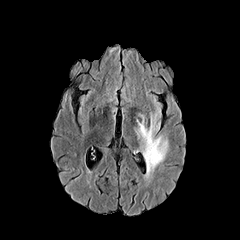
FLAIR MR.
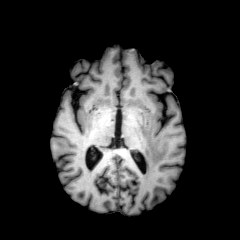
Same slice, T1-weighted magnetic resonance.
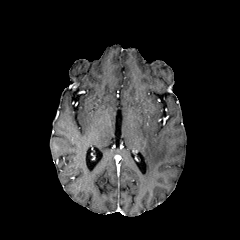
Post-contrast T1-weighted MR image.
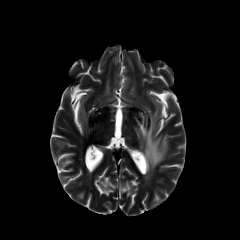
T2-weighted magnetic resonance.
Axial plane; 240x240 px
The peritumoral edema appears at 133, 97, 169, 184.